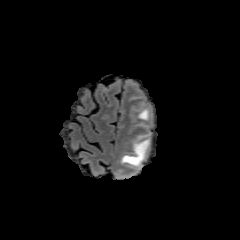
FLAIR MR.
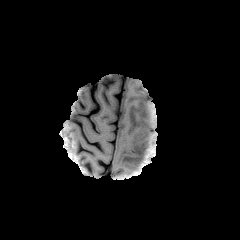
T1-weighted magnetic resonance.
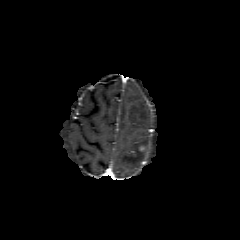
Same slice, post-contrast T1-weighted MR.
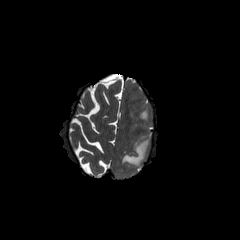
T2-weighted MR.
Brain
<segmentation>
  <peritumoral_edema>box=[121, 124, 150, 167]; box=[131, 106, 148, 124]</peritumoral_edema>
  <enhancing_tumor>box=[138, 144, 145, 151]</enhancing_tumor>
</segmentation>